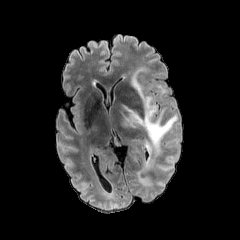
FLAIR MR.
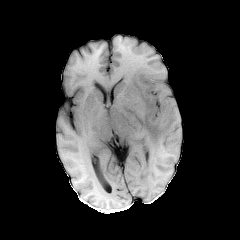
T1-weighted MRI of the same slice.
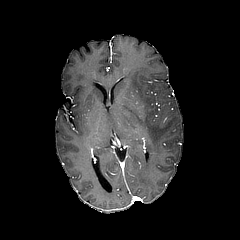
Post-contrast T1-weighted magnetic resonance of the same slice.
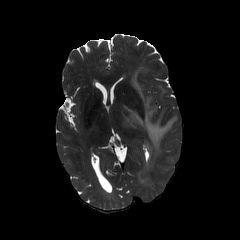
T2-weighted MRI.
240x240. Brain. Axial view.
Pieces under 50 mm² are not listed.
The largest peritumoral edema region is at 124:67:177:159.